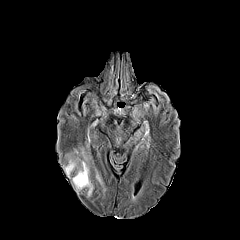
FLAIR MRI.
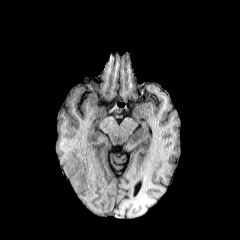
T1-weighted MRI.
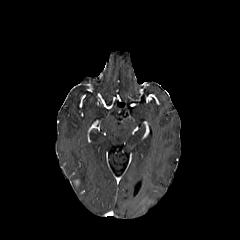
Post-contrast T1-weighted MR image.
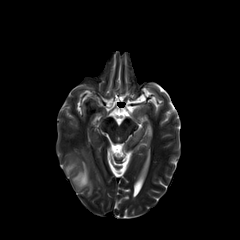
T2-weighted magnetic resonance of the same slice.
Head | Image size 240x240
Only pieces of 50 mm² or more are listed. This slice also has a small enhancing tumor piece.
peritumoral edema = 96:171:102:185, 64:155:93:196